Slice 96 of 155, Image width 240 mm, 240x240 px, Brain
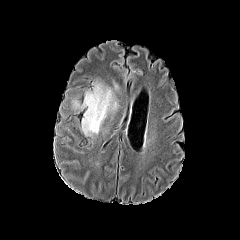
FLAIR MR image.
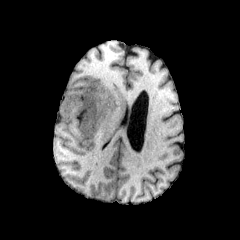
T1-weighted MR image of the same slice.
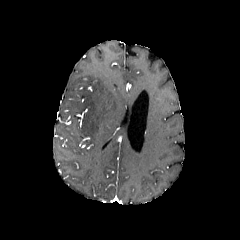
Post-contrast T1-weighted magnetic resonance.
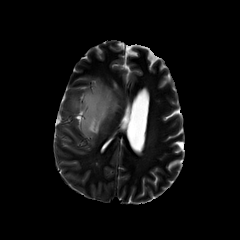
T2-weighted MR image.
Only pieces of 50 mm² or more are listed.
peritumoral_edema:
  - region(73, 82, 118, 135)